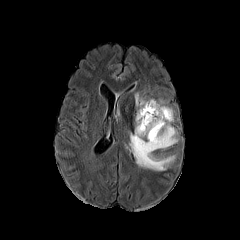
FLAIR MRI.
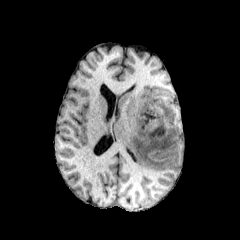
T1-weighted magnetic resonance of the same slice.
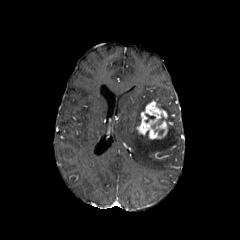
Post-contrast T1-weighted MRI.
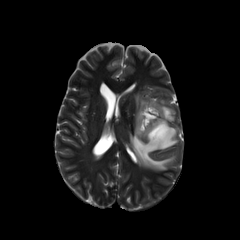
T2-weighted magnetic resonance.
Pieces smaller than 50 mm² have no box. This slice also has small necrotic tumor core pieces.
enhancing_tumor:
  - (left=136, top=100, right=169, bottom=139)
peritumoral_edema:
  - (left=129, top=93, right=178, bottom=170)